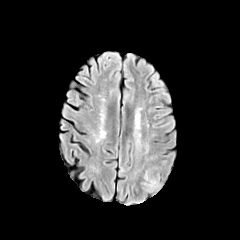
FLAIR MR.
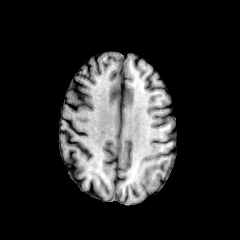
T1-weighted MR image.
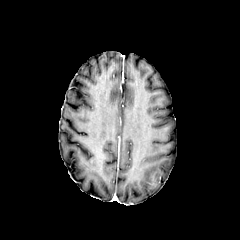
Post-contrast T1-weighted magnetic resonance of the same slice.
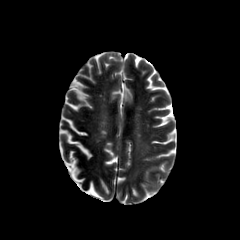
Same slice, T2-weighted magnetic resonance.
Head; Axial view
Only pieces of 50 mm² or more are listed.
• peritumoral edema: bbox=[149, 180, 158, 191]